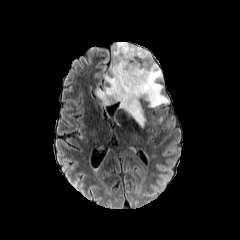
FLAIR MR image.
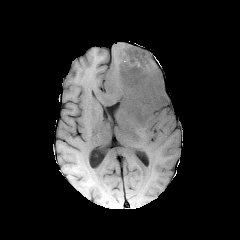
Same slice, T1-weighted MR image.
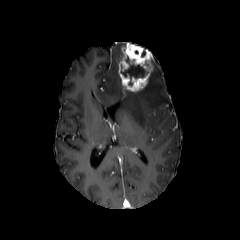
Same slice, post-contrast T1-weighted MRI.
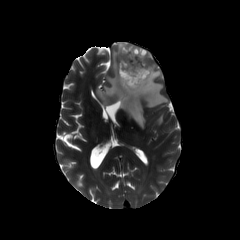
Same slice, T2-weighted MRI.
Axial plane.
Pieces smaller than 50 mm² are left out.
enhancing tumor at [118, 42, 153, 93]
necrotic tumor core at [121, 64, 145, 77]
peritumoral edema at [96, 42, 169, 127]